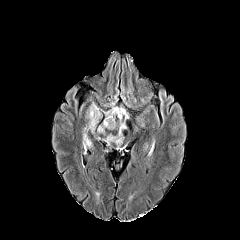
FLAIR MRI.
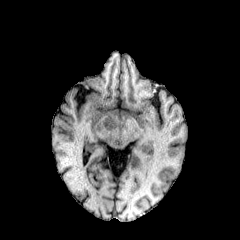
T1-weighted magnetic resonance of the same slice.
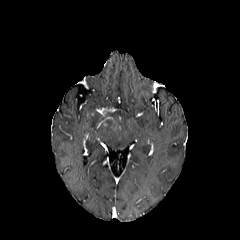
Post-contrast T1-weighted MR image of the same slice.
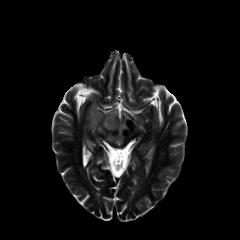
Same slice, T2-weighted MRI.
Head. Axial plane.
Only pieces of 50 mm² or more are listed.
Findings:
- enhancing tumor: (102,116,118,129)
- necrotic tumor core: (105,120,114,128)
- peritumoral edema: (97,123,111,134), (84,102,128,146)